Axial slice; Head; 240x240
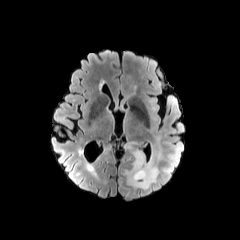
FLAIR magnetic resonance.
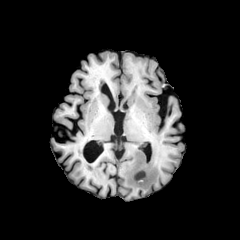
T1-weighted magnetic resonance.
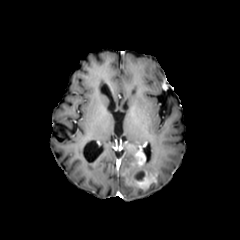
Post-contrast T1-weighted magnetic resonance of the same slice.
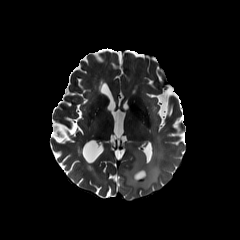
T2-weighted magnetic resonance.
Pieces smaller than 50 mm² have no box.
The largest peritumoral edema region appears at rect(123, 142, 161, 193). The enhancing tumor lies within rect(122, 144, 157, 188). The necrotic tumor core is bounded by rect(134, 170, 144, 180).